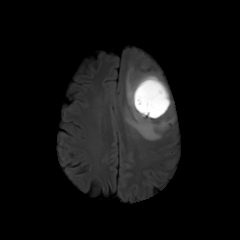
FLAIR magnetic resonance.
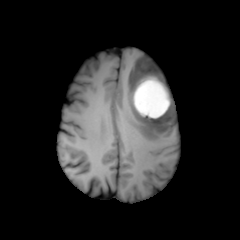
T1-weighted MR of the same slice.
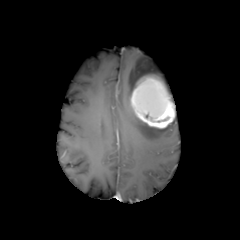
Post-contrast T1-weighted magnetic resonance.
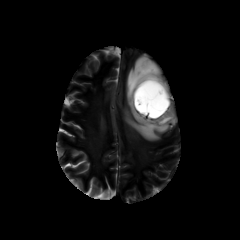
Same slice, T2-weighted magnetic resonance.
Image size 240x240, Brain
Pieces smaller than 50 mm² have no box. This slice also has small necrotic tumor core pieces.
enhancing tumor — left=130, top=77, right=175, bottom=128
peritumoral edema — left=124, top=55, right=175, bottom=141